FLAIR MRI.
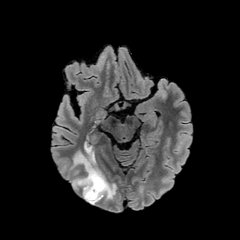
T1-weighted MRI.
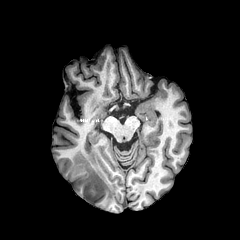
Post-contrast T1-weighted magnetic resonance.
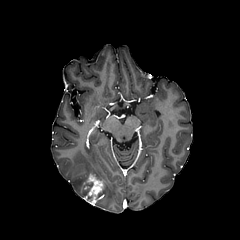
T2-weighted MR.
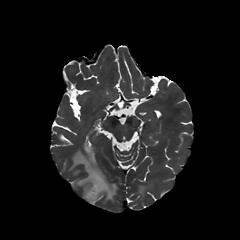
Axial plane; Head
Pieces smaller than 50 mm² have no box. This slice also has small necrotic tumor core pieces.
peritumoral edema at x1=69 y1=145 x2=117 y2=205
enhancing tumor at x1=83 y1=174 x2=104 y2=205